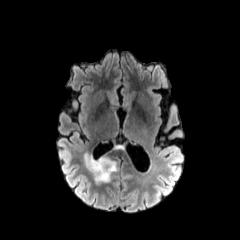
FLAIR magnetic resonance.
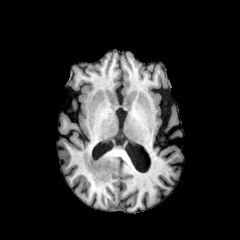
T1-weighted MR.
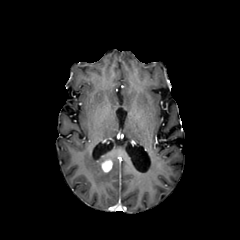
Post-contrast T1-weighted magnetic resonance.
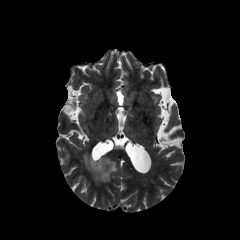
Same slice, T2-weighted MR image.
Head | 240x240 px
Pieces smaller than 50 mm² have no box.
peritumoral edema: 84, 153, 117, 183
enhancing tumor: 101, 159, 112, 172